Head, Image width 240 mm, 1.00 mm slice spacing, Slice 127/155, Axial plane
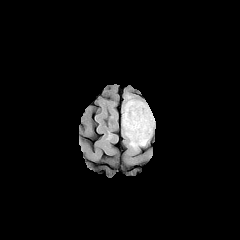
FLAIR magnetic resonance.
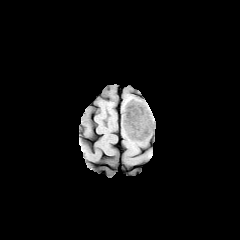
T1-weighted MRI.
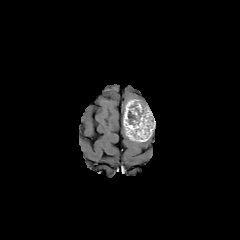
Post-contrast T1-weighted magnetic resonance.
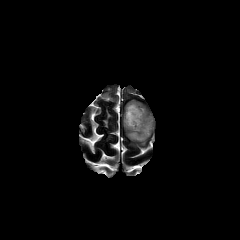
Same slice, T2-weighted MRI.
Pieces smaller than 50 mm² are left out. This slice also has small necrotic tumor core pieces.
enhancing_tumor:
  - <bbox>123, 100, 154, 141</bbox>
peritumoral_edema:
  - <bbox>130, 140, 147, 147</bbox>